FLAIR MR image.
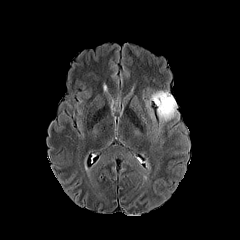
T1-weighted MRI.
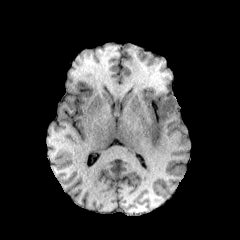
Post-contrast T1-weighted magnetic resonance.
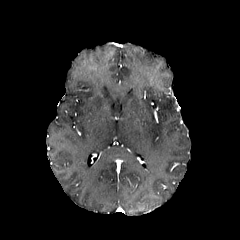
T2-weighted MR image.
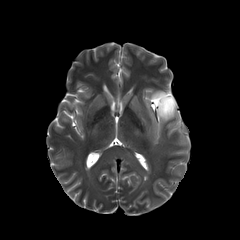
Brain; Axial plane; Image size 240x240
Segmented structures:
• peritumoral edema: left=151, top=91, right=176, bottom=120